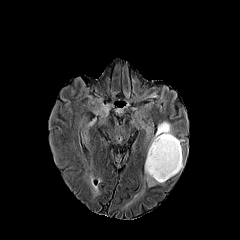
FLAIR magnetic resonance.
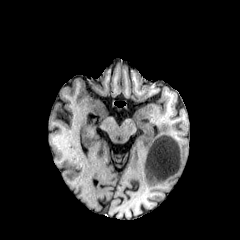
T1-weighted MR image.
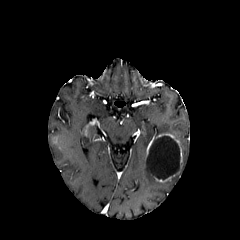
Same slice, post-contrast T1-weighted MR image.
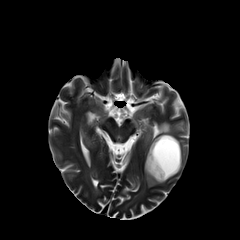
T2-weighted MR image of the same slice.
Head
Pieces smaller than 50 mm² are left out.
enhancing tumor: region(146, 137, 154, 157); region(156, 133, 182, 168); region(153, 174, 175, 182) | peritumoral edema: region(156, 122, 171, 135); region(144, 162, 159, 186) | necrotic tumor core: region(146, 135, 180, 180)